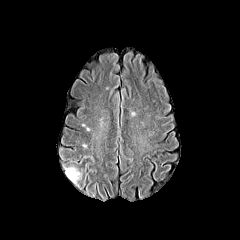
FLAIR MR.
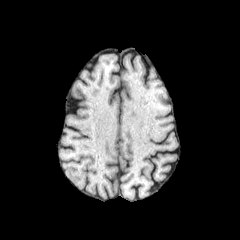
T1-weighted magnetic resonance of the same slice.
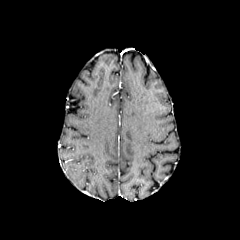
Same slice, post-contrast T1-weighted MRI.
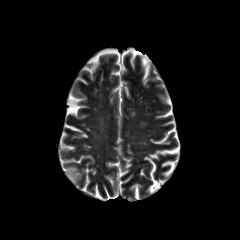
T2-weighted MRI of the same slice.
Axial view | Brain
peritumoral edema = 64,166,81,185